FLAIR MR image.
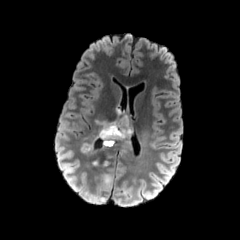
T1-weighted MR image.
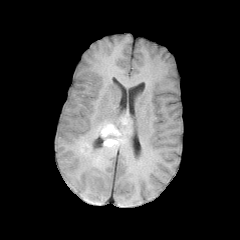
Post-contrast T1-weighted MRI.
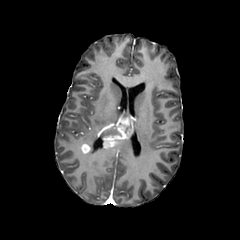
T2-weighted MR.
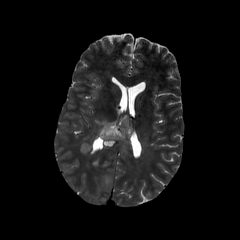
Axial plane
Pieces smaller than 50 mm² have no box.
2 enhancing tumor regions are bounded by (97,116,132,147), (81,144,89,153). The necrotic tumor core is bounded by (100,126,121,138). The 5 largest peritumoral edema regions are located at (96,111,119,129), (104,174,111,186), (136,132,147,158), (80,132,109,167), (114,137,133,158).